240x240; Slice 66/155; Head
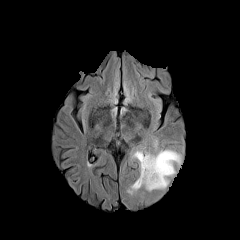
FLAIR MR.
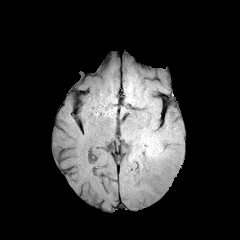
T1-weighted MRI.
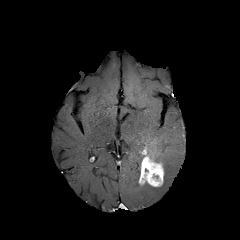
Post-contrast T1-weighted MR image of the same slice.
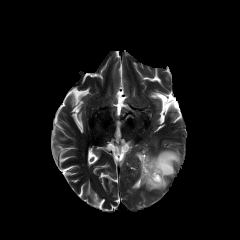
T2-weighted magnetic resonance.
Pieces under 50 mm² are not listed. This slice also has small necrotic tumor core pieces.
enhancing tumor: 138, 150, 164, 186
peritumoral edema: 133, 150, 143, 173; 128, 175, 141, 193; 142, 149, 181, 191